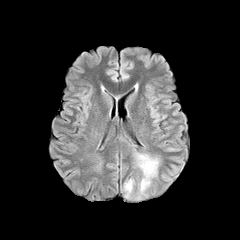
FLAIR MRI.
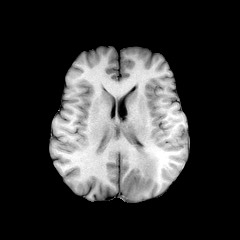
T1-weighted MR image.
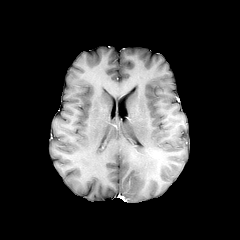
Post-contrast T1-weighted MRI.
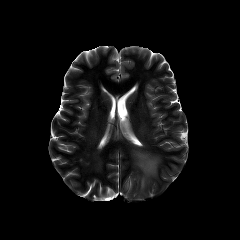
T2-weighted MRI.
Axial slice
peritumoral edema: x1=124 y1=178 x2=134 y2=197, x1=135 y1=153 x2=159 y2=192